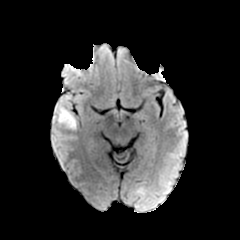
FLAIR magnetic resonance.
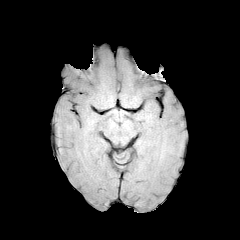
T1-weighted MRI.
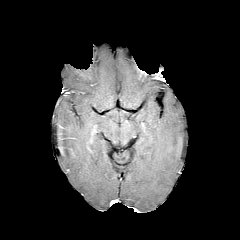
Post-contrast T1-weighted MRI.
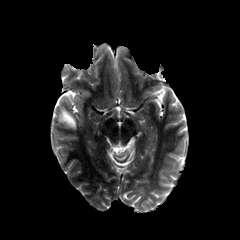
T2-weighted MR image.
Axial plane.
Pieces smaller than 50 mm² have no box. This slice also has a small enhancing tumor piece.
The peritumoral edema is located at bbox=[57, 106, 76, 129].